FLAIR MRI.
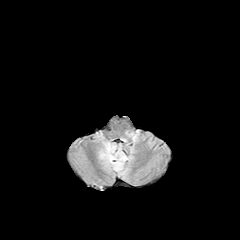
T1-weighted MRI.
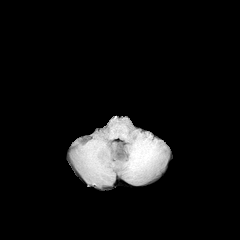
Post-contrast T1-weighted magnetic resonance.
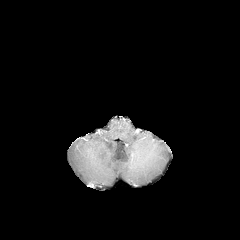
T2-weighted magnetic resonance.
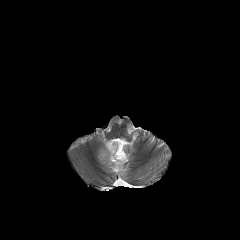
Axial slice, Image size 240x240
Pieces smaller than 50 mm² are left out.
The largest peritumoral edema region appears at rect(98, 141, 130, 177).